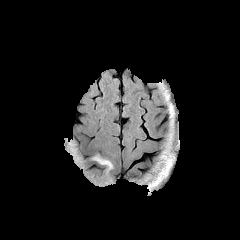
FLAIR MR image.
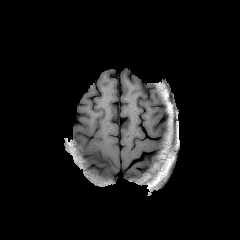
Same slice, T1-weighted MRI.
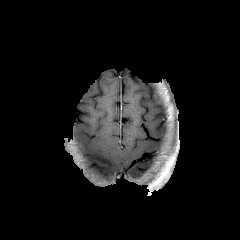
Post-contrast T1-weighted magnetic resonance of the same slice.
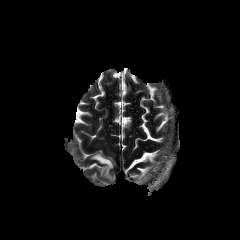
T2-weighted MR.
240x240 px; Axial plane
<segmentation>
  <peritumoral_edema><box>91,153,113,181</box></peritumoral_edema>
</segmentation>